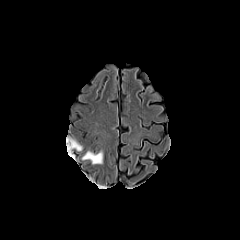
FLAIR MRI.
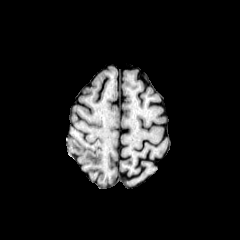
T1-weighted MR.
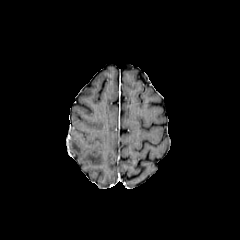
Post-contrast T1-weighted magnetic resonance.
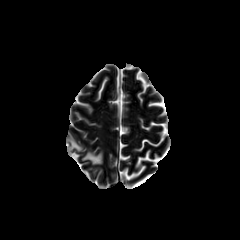
T2-weighted magnetic resonance.
Head
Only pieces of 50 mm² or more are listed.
peritumoral edema = 82:151:102:164, 68:139:82:152